Head
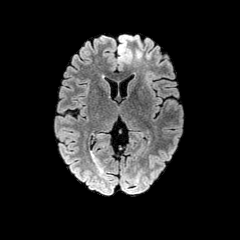
FLAIR MRI.
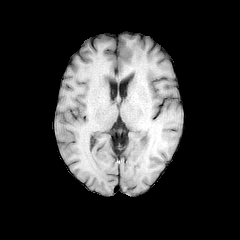
T1-weighted magnetic resonance.
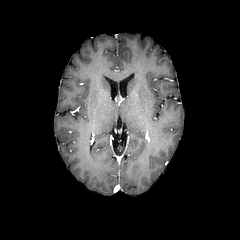
Post-contrast T1-weighted MR of the same slice.
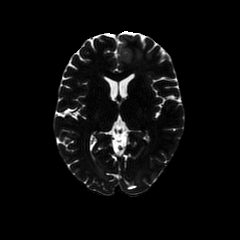
T2-weighted magnetic resonance.
- peritumoral edema: region(135, 49, 141, 59); region(117, 35, 138, 64)